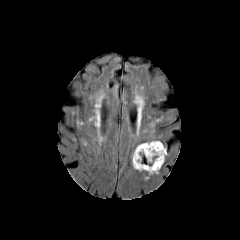
FLAIR MR.
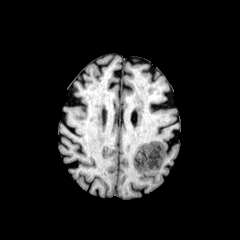
T1-weighted magnetic resonance.
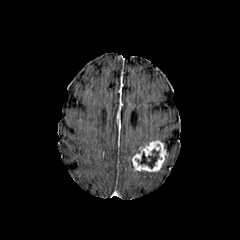
Post-contrast T1-weighted magnetic resonance.
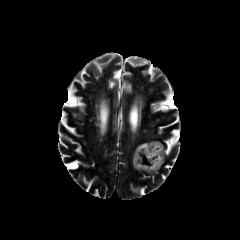
T2-weighted magnetic resonance of the same slice.
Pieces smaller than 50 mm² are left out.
<segmentation>
  <enhancing_tumor>(x1=132, y1=140, x2=167, y2=171)</enhancing_tumor>
  <peritumoral_edema>(x1=131, y1=141, x2=151, y2=158)</peritumoral_edema>
  <necrotic_tumor_core>(x1=137, y1=149, x2=158, y2=168)</necrotic_tumor_core>
</segmentation>